FLAIR MR image.
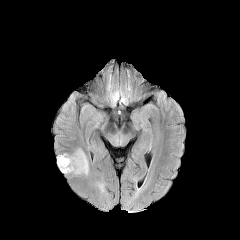
T1-weighted MR.
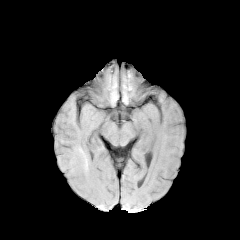
Post-contrast T1-weighted magnetic resonance.
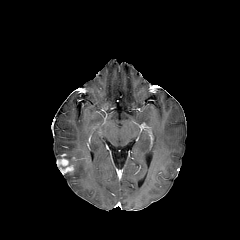
T2-weighted MR.
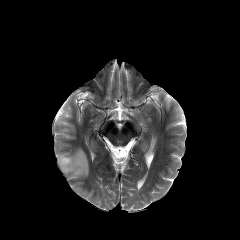
Axial slice
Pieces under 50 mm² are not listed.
{"peritumoral_edema": ["(x1=63, y1=148, x2=88, y2=176)"], "enhancing_tumor": ["(x1=57, y1=154, x2=73, y2=173)"]}